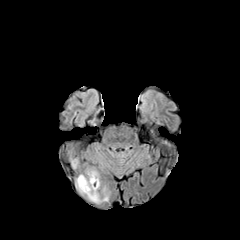
FLAIR MRI.
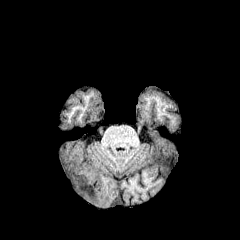
T1-weighted MR.
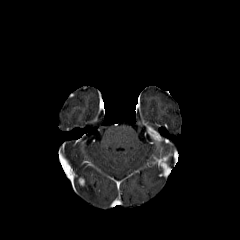
Post-contrast T1-weighted magnetic resonance.
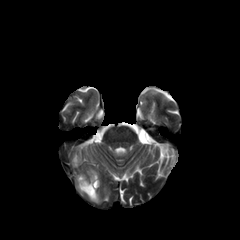
T2-weighted magnetic resonance.
Axial view
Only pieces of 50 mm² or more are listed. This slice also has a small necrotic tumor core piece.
peritumoral_edema:
  - <bbox>72, 158, 78, 167</bbox>
  - <bbox>76, 171, 108, 203</bbox>
enhancing_tumor:
  - <bbox>78, 177, 85, 186</bbox>